FLAIR MR.
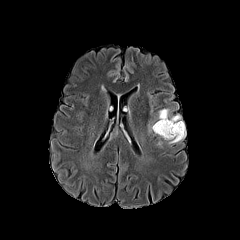
T1-weighted MRI.
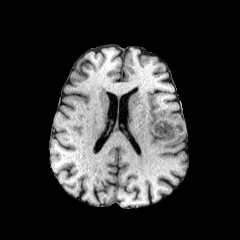
Post-contrast T1-weighted MRI.
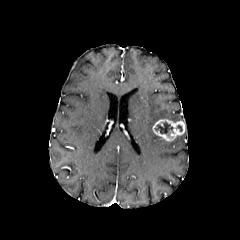
T2-weighted MRI.
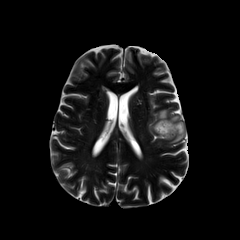
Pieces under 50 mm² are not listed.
Segmented structures:
* enhancing tumor: 152 119 185 141
* peritumoral edema: 156 109 169 119, 168 115 180 121, 148 120 155 133, 168 132 185 143
* necrotic tumor core: 155 122 173 133